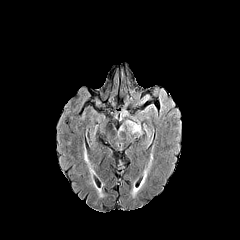
FLAIR MR image.
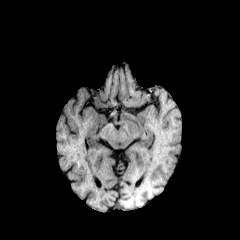
T1-weighted MR.
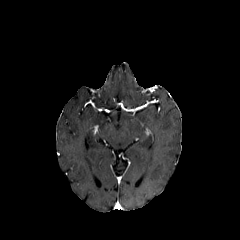
Post-contrast T1-weighted MR.
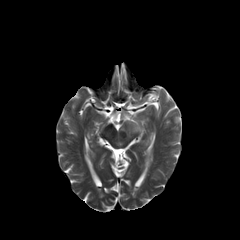
Same slice, T2-weighted MR.
Image size 240x240 | Axial view | Head
2 peritumoral edema regions appear at bbox=[125, 119, 142, 134]; bbox=[117, 123, 125, 132].